Image width 240 mm. Axial view.
FLAIR MRI.
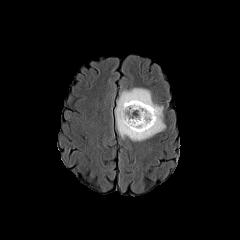
T1-weighted magnetic resonance.
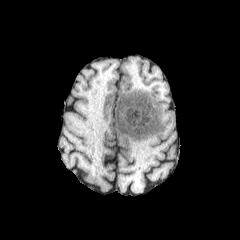
Post-contrast T1-weighted magnetic resonance.
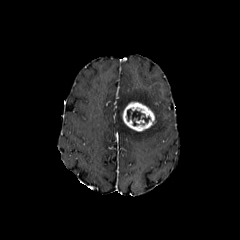
T2-weighted MRI.
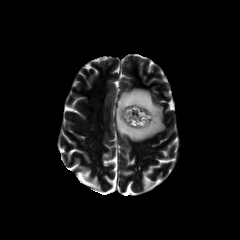
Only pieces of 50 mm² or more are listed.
necrotic_tumor_core:
  - bbox(127, 109, 144, 125)
peritumoral_edema:
  - bbox(116, 88, 165, 141)
enhancing_tumor:
  - bbox(122, 102, 155, 131)